Axial view, Slice 98/155, 240x240, Head
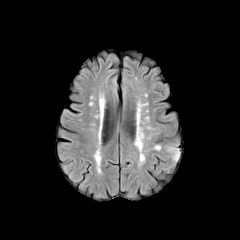
FLAIR MR.
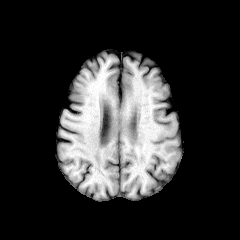
Same slice, T1-weighted MR image.
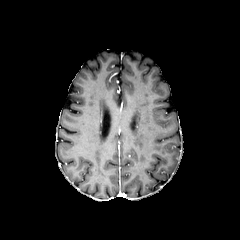
Same slice, post-contrast T1-weighted MR image.
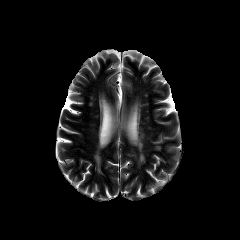
T2-weighted MR.
The peritumoral edema lies within [167, 145, 179, 161].